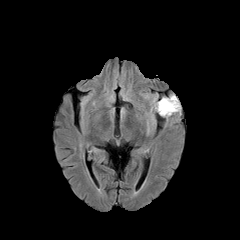
FLAIR MR image.
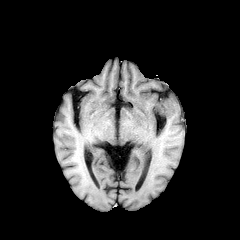
T1-weighted magnetic resonance of the same slice.
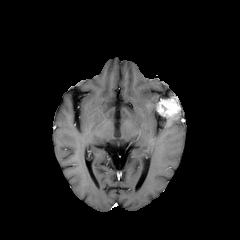
Same slice, post-contrast T1-weighted MR.
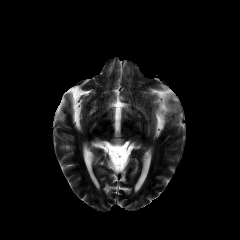
T2-weighted MR image.
Axial plane
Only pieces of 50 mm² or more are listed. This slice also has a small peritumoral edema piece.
* enhancing tumor: (left=156, top=95, right=180, bottom=117)